Axial slice | 240x240 | Image covers 240 mm x 240 mm | Head
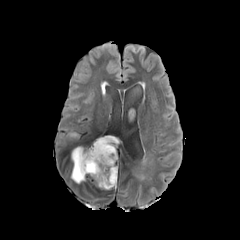
FLAIR MRI.
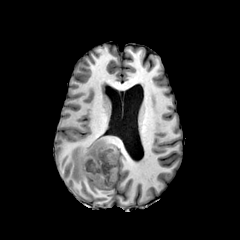
Same slice, T1-weighted MR image.
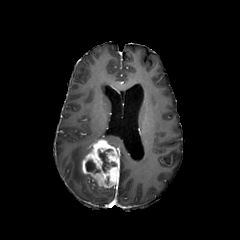
Post-contrast T1-weighted MRI of the same slice.
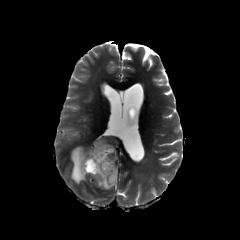
T2-weighted MRI of the same slice.
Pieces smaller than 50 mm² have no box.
<segmentation>
  <peritumoral_edema>region(71, 146, 91, 183); region(94, 136, 118, 147)</peritumoral_edema>
  <necrotic_tumor_core>region(86, 160, 100, 173); region(98, 150, 115, 172)</necrotic_tumor_core>
  <enhancing_tumor>region(82, 139, 119, 188)</enhancing_tumor>
</segmentation>